FLAIR MR.
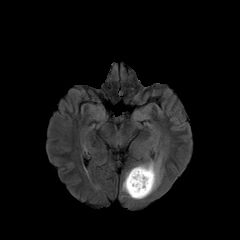
T1-weighted MRI.
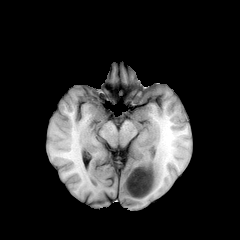
Post-contrast T1-weighted MRI.
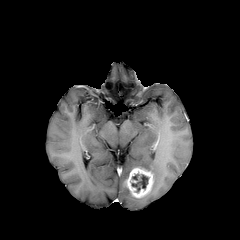
T2-weighted MR image.
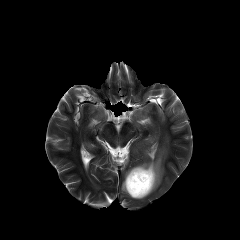
Axial view.
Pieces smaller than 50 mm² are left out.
peritumoral edema: 122 151 162 199
necrotic tumor core: 131 174 148 192
enhancing tumor: 124 167 154 198